FLAIR magnetic resonance.
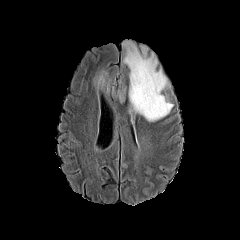
T1-weighted magnetic resonance.
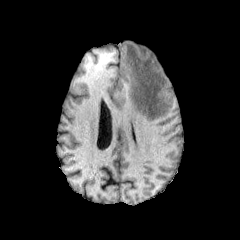
Post-contrast T1-weighted MRI.
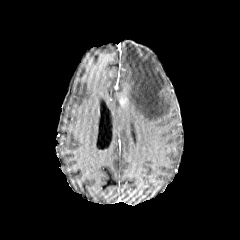
T2-weighted magnetic resonance.
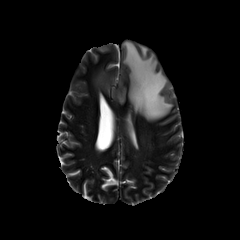
Brain
3 peritumoral edema regions are bounded by x1=118, y1=77, x2=126, y2=103; x1=123, y1=40, x2=173, y2=122; x1=92, y1=67, x2=110, y2=97.